Head. Axial plane. Image covers 240 mm x 240 mm.
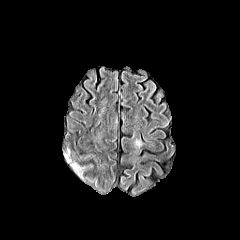
FLAIR MR.
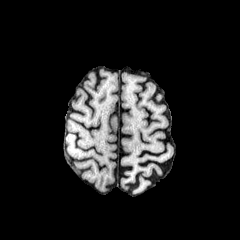
T1-weighted MR of the same slice.
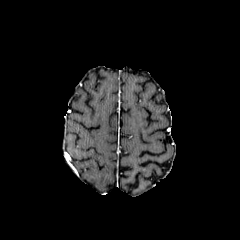
Post-contrast T1-weighted magnetic resonance.
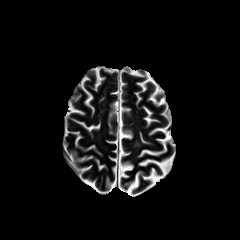
T2-weighted magnetic resonance of the same slice.
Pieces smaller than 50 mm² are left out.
peritumoral_edema:
  - 62,149,70,162
  - 70,163,84,177